FLAIR magnetic resonance.
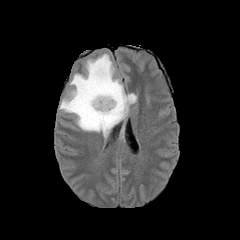
T1-weighted MR.
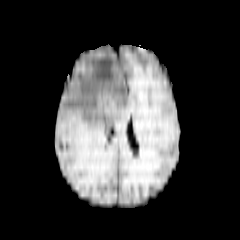
Post-contrast T1-weighted MRI.
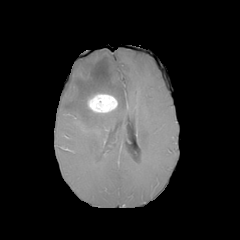
T2-weighted MR image.
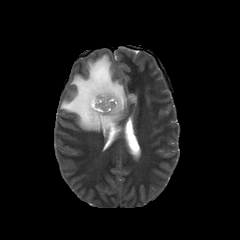
Axial slice
<segmentation>
  <enhancing_tumor>(x1=87, y1=93, x2=118, y2=113)</enhancing_tumor>
  <peritumoral_edema>(x1=60, y1=53, x2=137, y2=144)</peritumoral_edema>
</segmentation>